Slice index 114 | Axial slice | Brain
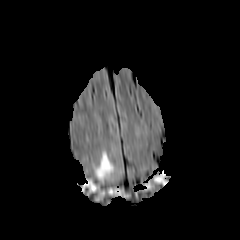
FLAIR MR image.
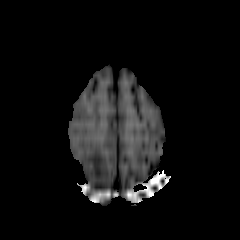
Same slice, T1-weighted MRI.
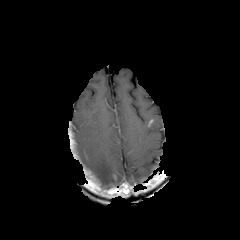
Same slice, post-contrast T1-weighted MRI.
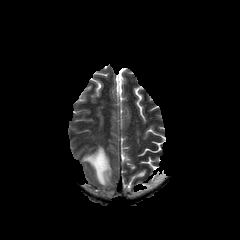
T2-weighted MRI.
peritumoral edema: bounding box region(91, 150, 114, 184)